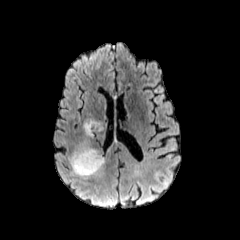
FLAIR magnetic resonance.
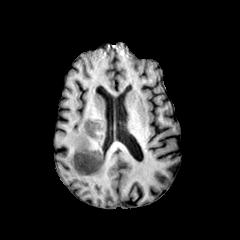
T1-weighted MR.
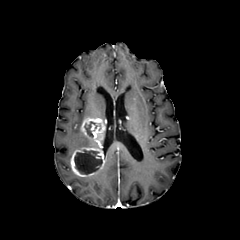
Post-contrast T1-weighted magnetic resonance of the same slice.
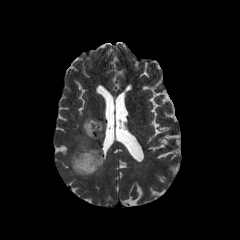
T2-weighted MR.
240x240
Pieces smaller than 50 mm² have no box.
<segmentation>
  <necrotic_tumor_core>{"x1": 84, "y1": 121, "x2": 97, "y2": 136}, {"x1": 74, "y1": 150, "x2": 102, "y2": 174}</necrotic_tumor_core>
  <enhancing_tumor>{"x1": 70, "y1": 117, "x2": 105, "y2": 176}</enhancing_tumor>
  <peritumoral_edema>{"x1": 76, "y1": 138, "x2": 89, "y2": 148}</peritumoral_edema>
</segmentation>